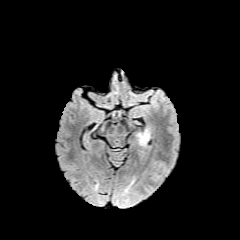
FLAIR MR.
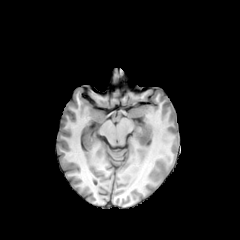
T1-weighted MR.
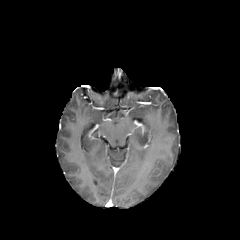
Same slice, post-contrast T1-weighted MR.
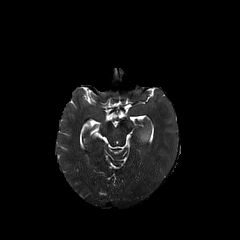
T2-weighted MR.
Axial view
peritumoral_edema:
  - <box>136,131,148,144</box>